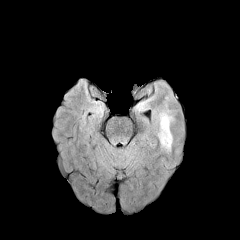
FLAIR MR image.
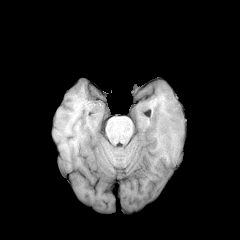
T1-weighted MR of the same slice.
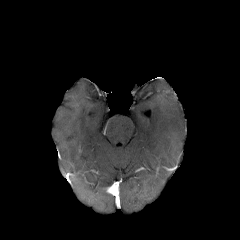
Post-contrast T1-weighted magnetic resonance.
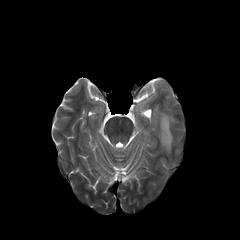
T2-weighted magnetic resonance of the same slice.
Axial plane; Brain
Annotated regions:
* peritumoral edema: 133:97:152:111, 156:111:174:151